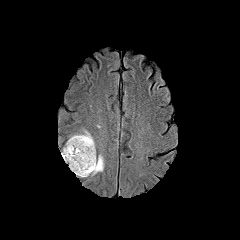
FLAIR MRI.
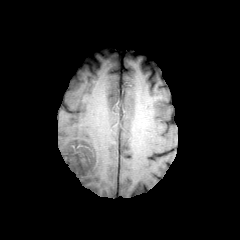
T1-weighted MRI.
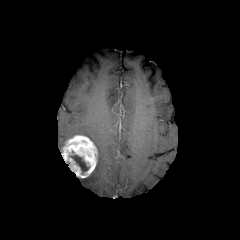
Post-contrast T1-weighted MRI.
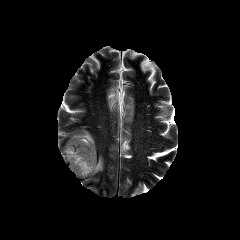
T2-weighted MRI of the same slice.
240x240 px.
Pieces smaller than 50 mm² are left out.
The largest necrotic tumor core region appears at box(70, 155, 89, 173). The enhancing tumor is at box(61, 135, 97, 177). The 2 largest peritumoral edema regions are bounded by box(91, 155, 103, 175); box(75, 130, 94, 144).